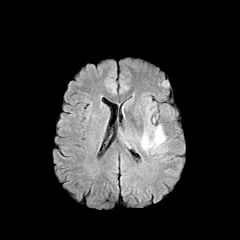
FLAIR MRI.
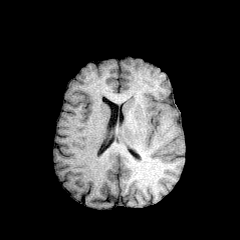
Same slice, T1-weighted MR.
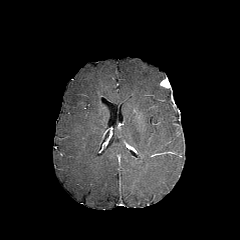
Post-contrast T1-weighted magnetic resonance.
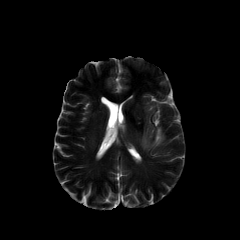
Same slice, T2-weighted MR.
peritumoral edema = (left=141, top=126, right=165, bottom=149)